FLAIR MRI.
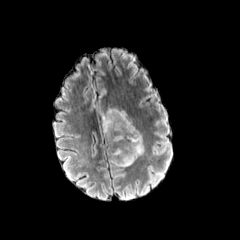
T1-weighted MR image.
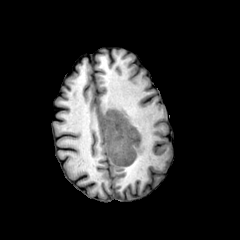
Post-contrast T1-weighted MR image.
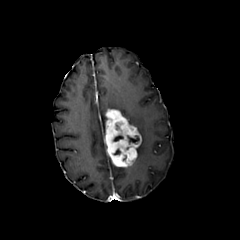
T2-weighted MRI.
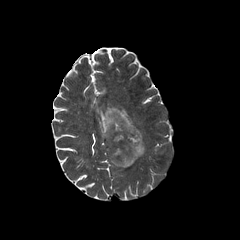
Brain
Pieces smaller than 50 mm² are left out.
<segmentation>
  <enhancing_tumor>l=104, t=109, r=141, b=167</enhancing_tumor>
  <peritumoral_edema>l=137, t=136, r=143, b=156; l=101, t=112, r=105, b=137; l=108, t=107, r=133, b=124</peritumoral_edema>
  <necrotic_tumor_core>l=127, t=136, r=139, b=142</necrotic_tumor_core>
</segmentation>